Slice index 109; Axial slice
FLAIR MR.
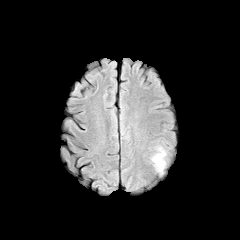
T1-weighted MRI.
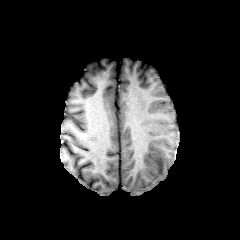
Post-contrast T1-weighted MRI.
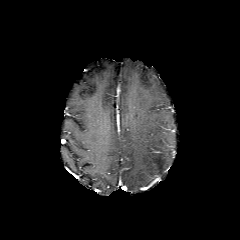
T2-weighted MR image.
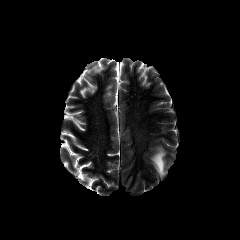
The peritumoral edema is located at (x1=151, y1=148, x2=165, y2=174).